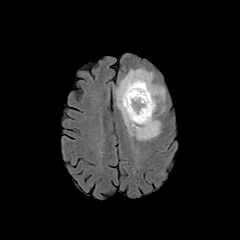
FLAIR MRI.
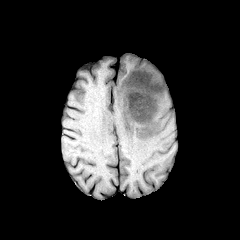
T1-weighted MR of the same slice.
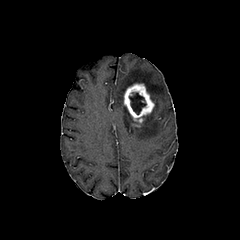
Post-contrast T1-weighted magnetic resonance.
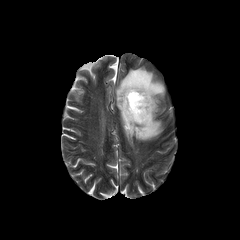
T2-weighted MR.
Head; 240x240 px; Axial plane
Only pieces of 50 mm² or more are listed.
{
  "peritumoral_edema": [
    "region(116, 68, 165, 140)"
  ],
  "necrotic_tumor_core": [
    "region(129, 92, 146, 114)"
  ],
  "enhancing_tumor": [
    "region(123, 83, 154, 123)"
  ]
}